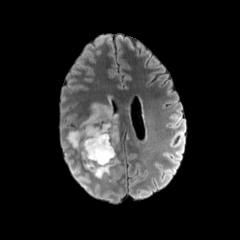
FLAIR MR.
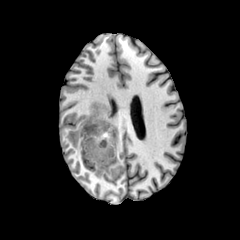
Same slice, T1-weighted MR.
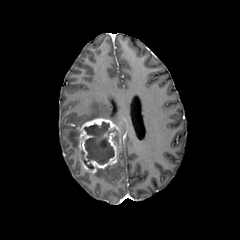
Post-contrast T1-weighted magnetic resonance.
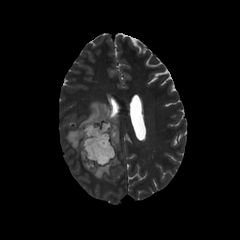
T2-weighted MR.
240x240 px
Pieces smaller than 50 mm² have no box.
{
  "enhancing_tumor": [
    "(77, 117, 120, 173)"
  ],
  "necrotic_tumor_core": [
    "(84, 122, 115, 169)"
  ],
  "peritumoral_edema": [
    "(94, 160, 119, 178)",
    "(66, 102, 117, 149)"
  ]
}